Slice 122 of 155 | Axial plane | 240x240
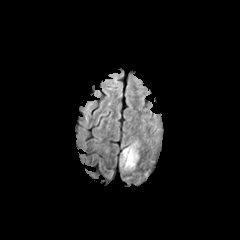
FLAIR MRI.
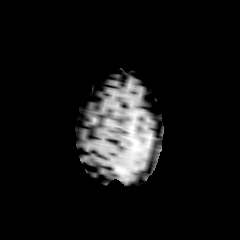
Same slice, T1-weighted MR.
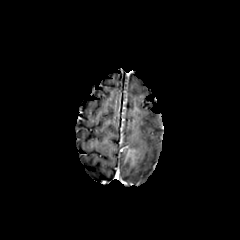
Post-contrast T1-weighted MRI of the same slice.
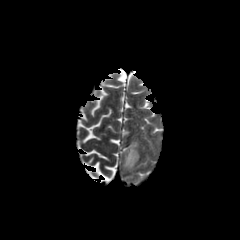
T2-weighted MRI.
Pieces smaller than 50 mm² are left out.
peritumoral edema: bounding box [120, 141, 139, 171]
enhancing tumor: bounding box [125, 148, 135, 167]